Image covers 240 mm x 240 mm; Brain; Slice index 101; 240x240 px
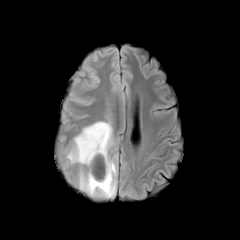
FLAIR MR.
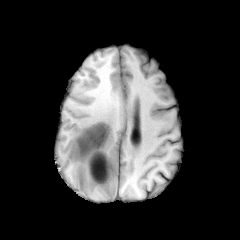
T1-weighted magnetic resonance of the same slice.
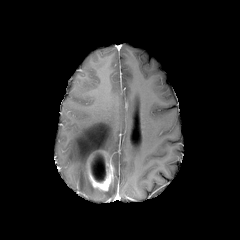
Same slice, post-contrast T1-weighted MR.
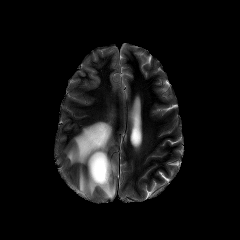
T2-weighted MRI.
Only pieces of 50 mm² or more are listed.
The enhancing tumor appears at (87, 150, 114, 190). The 2 largest peritumoral edema regions appear at (79, 158, 116, 197), (67, 121, 113, 165). The necrotic tumor core is bounded by (91, 152, 105, 181).